Slice index 57 | Brain | Axial plane | Image covers 240 mm x 240 mm
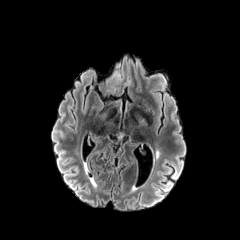
FLAIR MR.
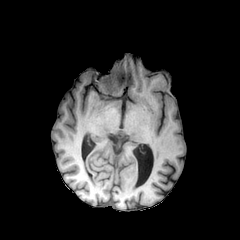
T1-weighted MR image of the same slice.
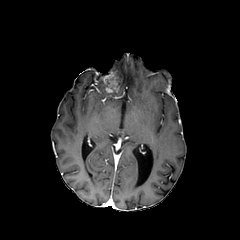
Post-contrast T1-weighted MRI.
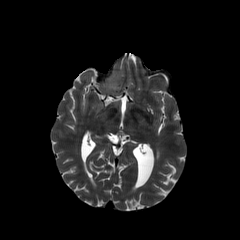
T2-weighted MRI.
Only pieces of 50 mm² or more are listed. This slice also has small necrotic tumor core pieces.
<segmentation>
  <peritumoral_edema>box(114, 68, 124, 82)</peritumoral_edema>
  <enhancing_tumor>box(104, 72, 119, 92)</enhancing_tumor>
</segmentation>